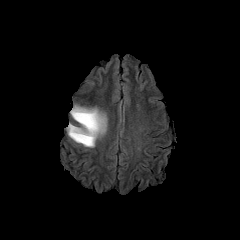
FLAIR MRI.
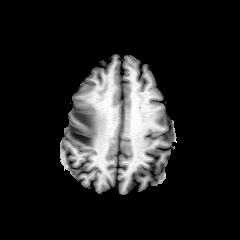
Same slice, T1-weighted magnetic resonance.
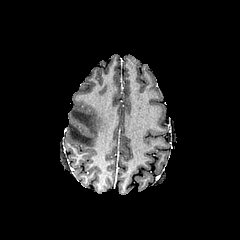
Post-contrast T1-weighted magnetic resonance.
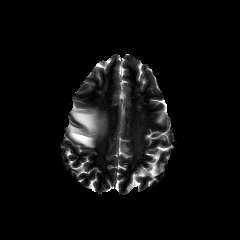
T2-weighted MRI.
Head
Segmented structures:
• peritumoral edema: box=[68, 106, 106, 147]